FLAIR MR.
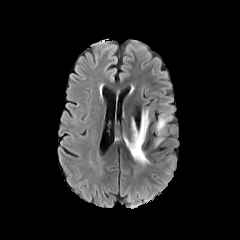
T1-weighted MR.
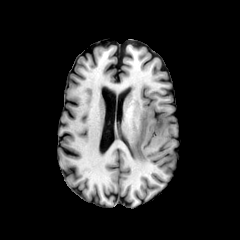
Post-contrast T1-weighted MR.
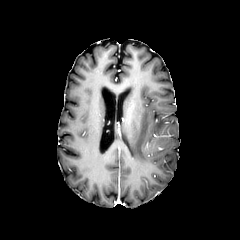
T2-weighted MR.
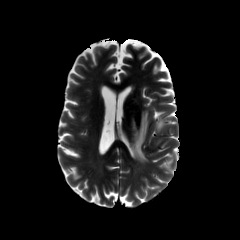
Axial slice | Image size 240x240
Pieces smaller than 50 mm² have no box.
peritumoral edema = (left=156, top=114, right=171, bottom=134), (left=125, top=109, right=149, bottom=165)